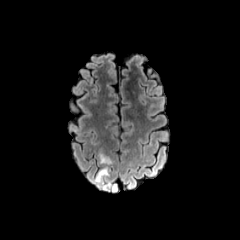
FLAIR magnetic resonance.
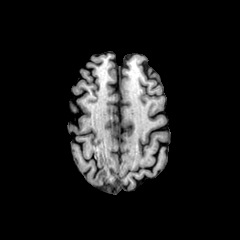
Same slice, T1-weighted MRI.
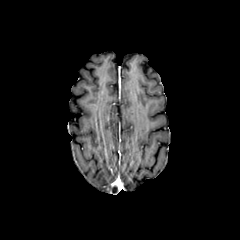
Same slice, post-contrast T1-weighted magnetic resonance.
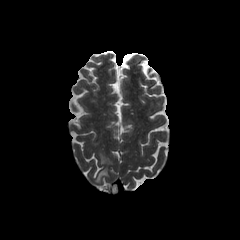
T2-weighted MR image.
Head; Axial view
Segmented structures:
* peritumoral edema: (left=94, top=168, right=109, bottom=182), (left=99, top=152, right=112, bottom=163)